Slice 48 of 155 | Head | Axial view
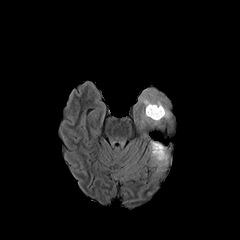
FLAIR MR image.
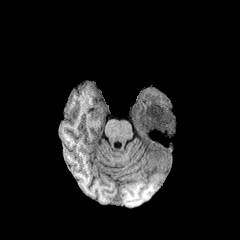
T1-weighted magnetic resonance.
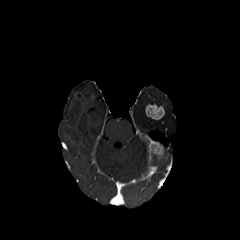
Post-contrast T1-weighted MR image of the same slice.
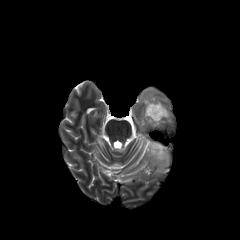
T2-weighted magnetic resonance.
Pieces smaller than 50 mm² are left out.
peritumoral edema: (138, 89, 170, 128) | enhancing tumor: (152, 142, 164, 159), (145, 104, 164, 119)